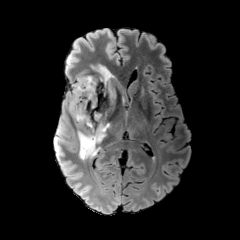
FLAIR magnetic resonance.
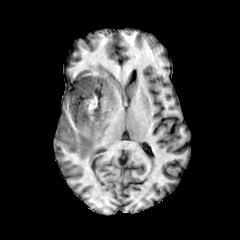
T1-weighted MR.
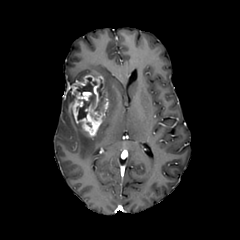
Post-contrast T1-weighted MRI.
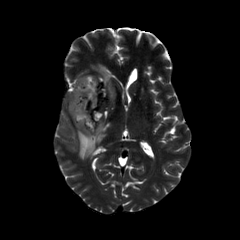
T2-weighted magnetic resonance.
Axial view
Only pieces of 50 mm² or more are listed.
necrotic tumor core: bbox(76, 77, 95, 120) | peritumoral edema: bbox(77, 123, 109, 159); bbox(66, 91, 72, 117); bbox(91, 65, 116, 110) | enhancing tumor: bbox(69, 74, 109, 137)